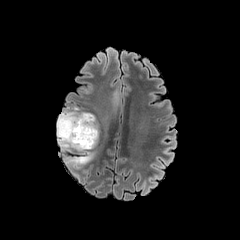
FLAIR MR image.
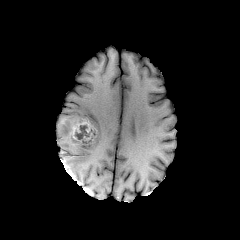
T1-weighted magnetic resonance.
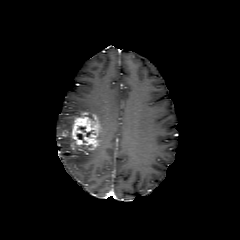
Post-contrast T1-weighted MRI.
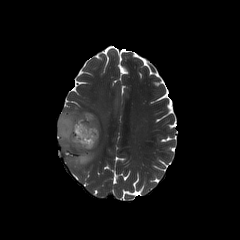
T2-weighted MR.
Brain. 240x240. Axial plane.
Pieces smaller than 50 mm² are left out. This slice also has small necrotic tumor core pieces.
• enhancing tumor: 70,112,100,149
• peritumoral edema: 57,107,94,167